Axial plane
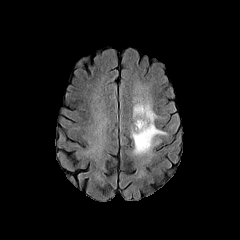
FLAIR MRI.
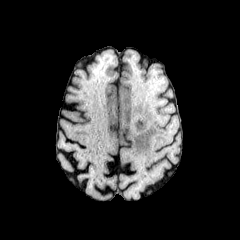
Same slice, T1-weighted magnetic resonance.
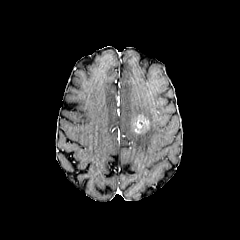
Post-contrast T1-weighted MRI of the same slice.
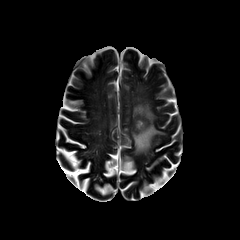
T2-weighted MR image.
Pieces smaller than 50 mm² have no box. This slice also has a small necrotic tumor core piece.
The peritumoral edema is at [131, 97, 165, 154]. The enhancing tumor is at [133, 115, 149, 133].